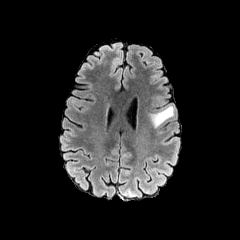
FLAIR MRI.
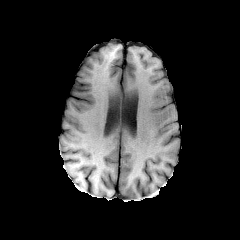
T1-weighted MRI.
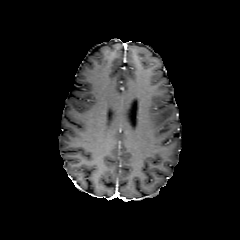
Post-contrast T1-weighted MR image.
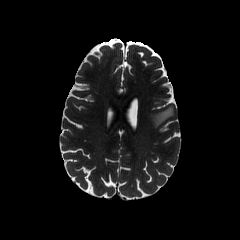
T2-weighted magnetic resonance.
peritumoral edema: <bbox>149, 106, 173, 127</bbox>